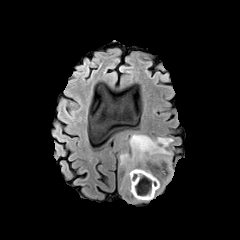
FLAIR MR.
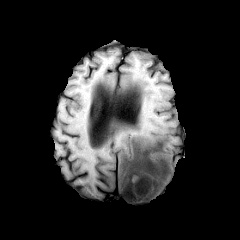
Same slice, T1-weighted MR.
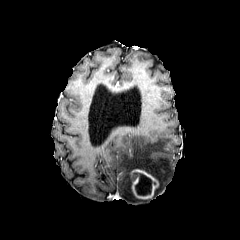
Post-contrast T1-weighted MR image.
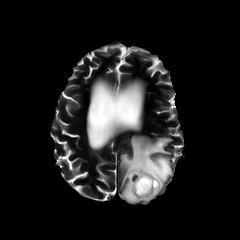
T2-weighted MR of the same slice.
Head
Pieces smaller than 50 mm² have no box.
Findings:
* necrotic tumor core: box(135, 174, 152, 195)
* peritumoral edema: box(120, 134, 173, 202)
* enhancing tumor: box(130, 169, 159, 199)